Slice 71/155 | Brain | Axial plane
FLAIR MR image.
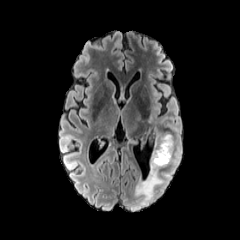
T1-weighted MR image.
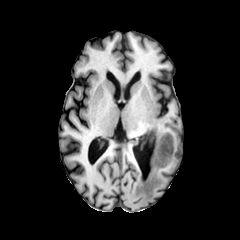
Post-contrast T1-weighted MR.
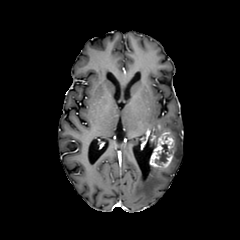
T2-weighted MR.
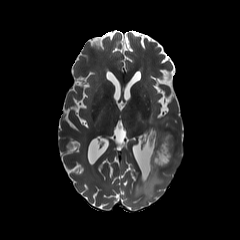
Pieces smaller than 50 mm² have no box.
The 2 largest peritumoral edema regions are located at (left=172, top=145, right=180, bottom=164), (left=134, top=166, right=162, bottom=202). The largest enhancing tumor region is at (left=149, top=126, right=173, bottom=167). The largest necrotic tumor core region is located at (left=155, top=144, right=168, bottom=164).